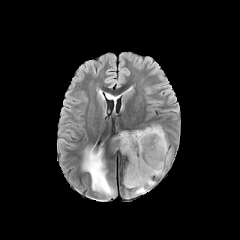
FLAIR MR.
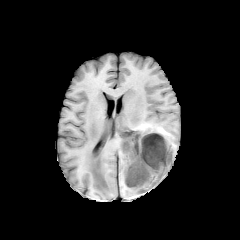
T1-weighted magnetic resonance.
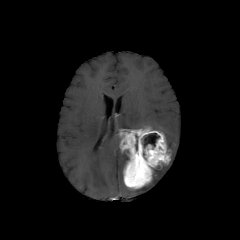
Post-contrast T1-weighted MR image.
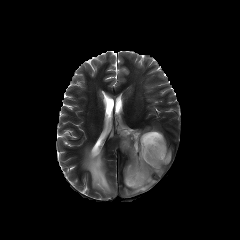
T2-weighted MRI.
Head. Axial view.
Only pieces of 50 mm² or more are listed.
enhancing tumor — l=119, t=127, r=171, b=189
necrotic tumor core — l=143, t=133, r=159, b=147
peritumoral edema — l=151, t=126, r=164, b=134; l=111, t=136, r=120, b=151; l=153, t=166, r=164, b=176; l=82, t=148, r=115, b=197; l=131, t=180, r=155, b=195